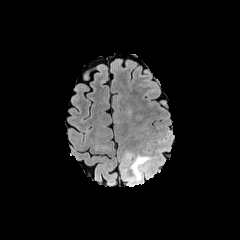
FLAIR MR image.
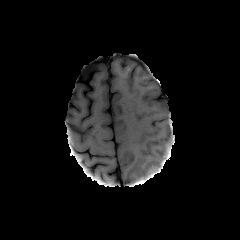
T1-weighted MR image of the same slice.
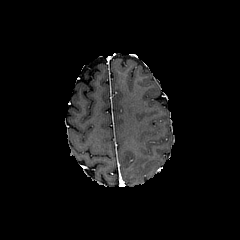
Post-contrast T1-weighted MRI.
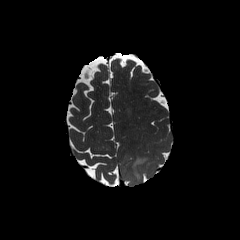
T2-weighted MR image of the same slice.
Brain | Image size 240x240
2 peritumoral edema regions appear at (left=122, top=151, right=132, bottom=163), (left=122, top=155, right=152, bottom=185).